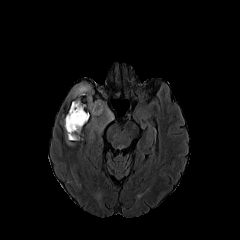
FLAIR magnetic resonance.
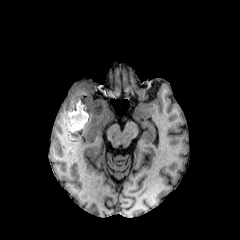
T1-weighted MR image.
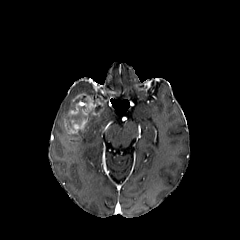
Post-contrast T1-weighted MR.
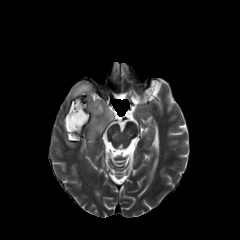
T2-weighted MRI.
Brain, Image size 240x240
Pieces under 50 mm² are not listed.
peritumoral edema = {"x1": 88, "y1": 100, "x2": 113, "y2": 133}, {"x1": 68, "y1": 82, "x2": 92, "y2": 99}, {"x1": 61, "y1": 121, "x2": 80, "y2": 146}
enhancing tumor = {"x1": 68, "y1": 118, "x2": 88, "y2": 134}, {"x1": 64, "y1": 95, "x2": 103, "y2": 128}
necrotic tumor core = {"x1": 73, "y1": 95, "x2": 86, "y2": 109}, {"x1": 66, "y1": 106, "x2": 90, "y2": 130}